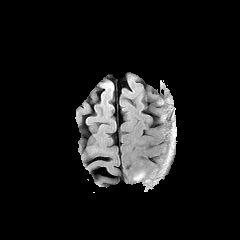
FLAIR MRI.
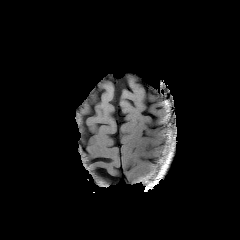
T1-weighted magnetic resonance.
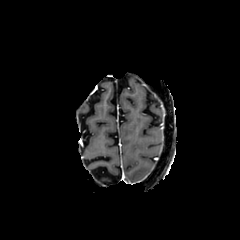
Post-contrast T1-weighted magnetic resonance of the same slice.
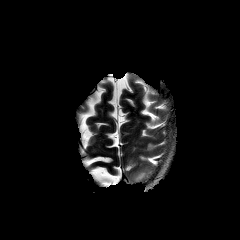
T2-weighted MRI.
Brain
peritumoral edema at 134 172 144 180